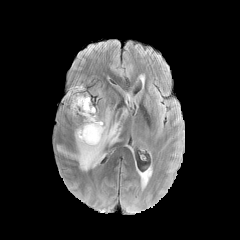
FLAIR MRI.
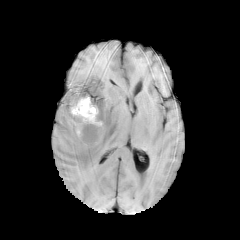
T1-weighted MR image of the same slice.
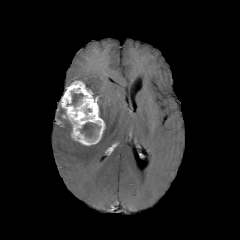
Same slice, post-contrast T1-weighted magnetic resonance.
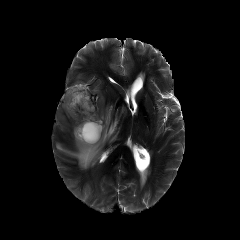
T2-weighted MRI of the same slice.
Image size 240x240. Axial view.
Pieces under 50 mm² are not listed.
enhancing tumor: bounding box box=[60, 81, 105, 145]
peritumoral edema: bounding box box=[56, 107, 120, 170]
necrotic tumor core: bounding box box=[80, 122, 98, 139]; box=[70, 93, 83, 105]